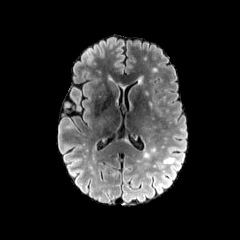
FLAIR magnetic resonance.
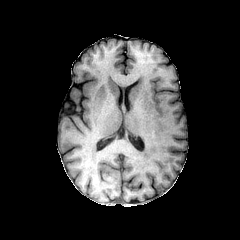
T1-weighted MR image.
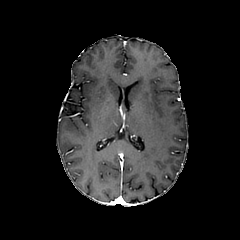
Same slice, post-contrast T1-weighted MR.
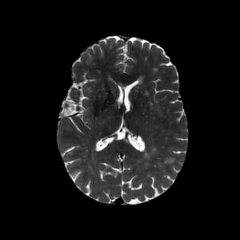
T2-weighted MR image of the same slice.
Axial plane, Brain
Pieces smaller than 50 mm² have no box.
peritumoral edema — <bbox>164, 157, 174, 163</bbox>